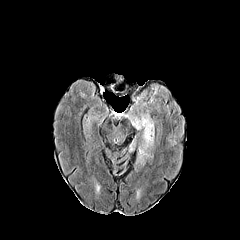
FLAIR MRI.
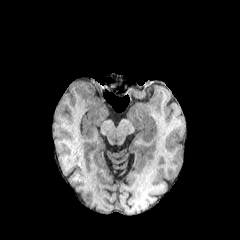
T1-weighted magnetic resonance.
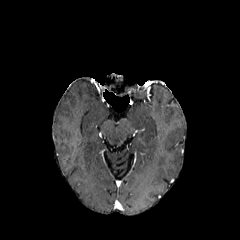
Post-contrast T1-weighted MRI of the same slice.
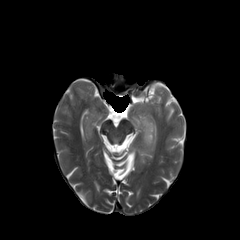
Same slice, T2-weighted MR image.
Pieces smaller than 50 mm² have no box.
peritumoral edema = rect(129, 113, 154, 148)